Axial view; Brain
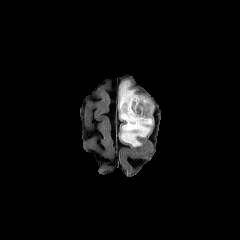
FLAIR MR.
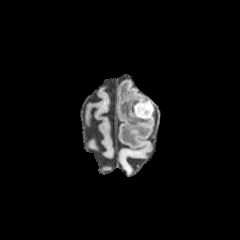
T1-weighted MR image.
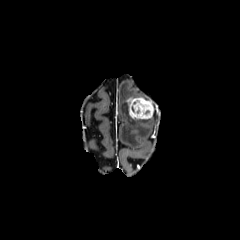
Post-contrast T1-weighted magnetic resonance of the same slice.
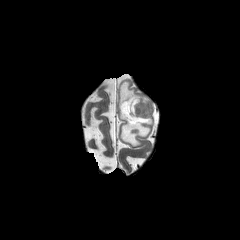
T2-weighted MR image of the same slice.
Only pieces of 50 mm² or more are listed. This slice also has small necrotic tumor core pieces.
enhancing tumor — (x1=126, y1=97, x2=153, y2=119)
peritumoral edema — (x1=119, y1=81, x2=152, y2=146)